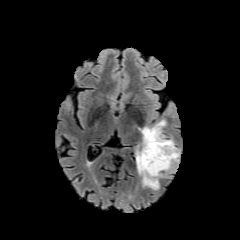
FLAIR MRI.
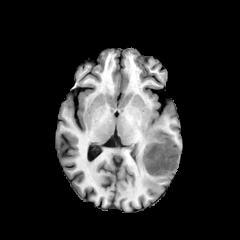
T1-weighted MR.
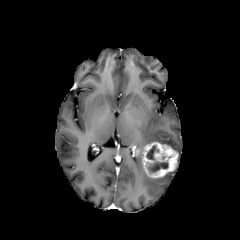
Same slice, post-contrast T1-weighted MR image.
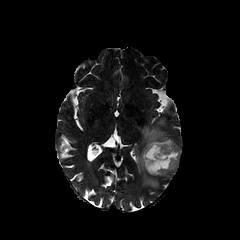
Same slice, T2-weighted MRI.
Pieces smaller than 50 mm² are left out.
enhancing tumor: bounding box 142,142,178,177
peritumoral edema: bounding box 136,120,180,189
necrotic tumor core: bounding box 148,162,167,172; 146,146,158,159